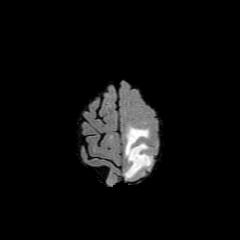
FLAIR MR image.
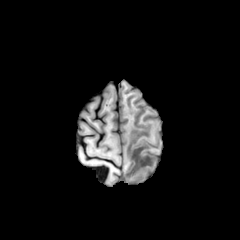
Same slice, T1-weighted MR image.
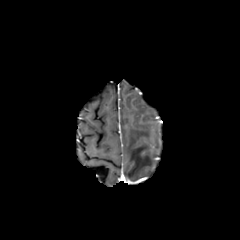
Post-contrast T1-weighted magnetic resonance.
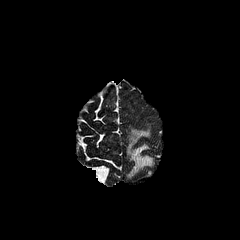
T2-weighted magnetic resonance of the same slice.
Head
The peritumoral edema is bounded by (125,127,152,177).